Brain.
FLAIR MR.
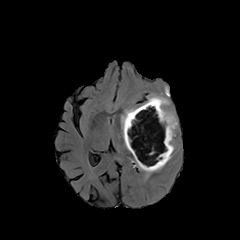
T1-weighted magnetic resonance.
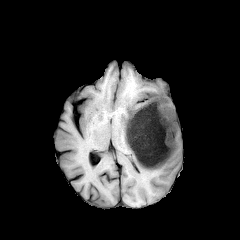
Post-contrast T1-weighted MRI.
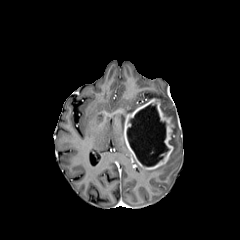
T2-weighted MR image.
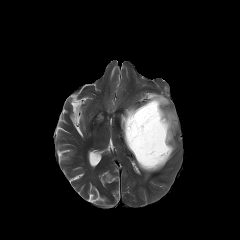
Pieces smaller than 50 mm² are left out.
necrotic_tumor_core:
  - box(127, 103, 168, 166)
peritumoral_edema:
  - box(168, 138, 175, 161)
  - box(121, 106, 137, 138)
  - box(137, 164, 164, 176)
  - box(147, 93, 177, 135)
enhancing_tumor:
  - box(124, 98, 174, 169)